FLAIR magnetic resonance.
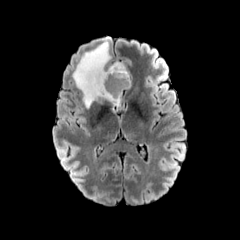
T1-weighted magnetic resonance.
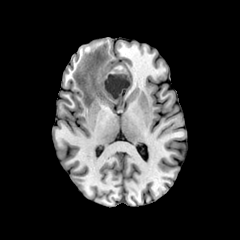
Post-contrast T1-weighted MR image.
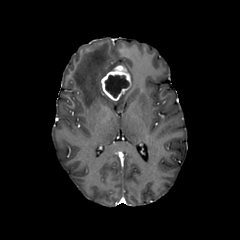
T2-weighted magnetic resonance.
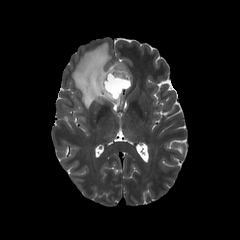
Axial slice
enhancing tumor at 101:65:131:100
necrotic tumor core at 105:75:129:97
peritumoral edema at 72:39:124:108